FLAIR MR.
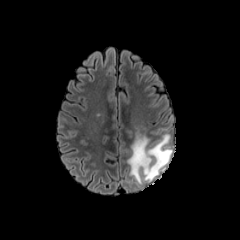
T1-weighted MRI.
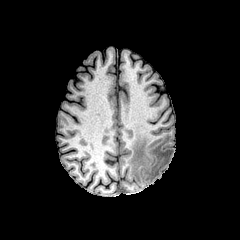
Post-contrast T1-weighted MRI.
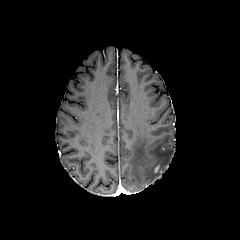
T2-weighted magnetic resonance.
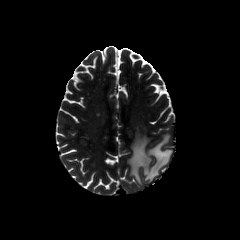
Axial plane.
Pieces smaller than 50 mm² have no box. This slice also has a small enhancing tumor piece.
<segmentation>
  <peritumoral_edema>rect(127, 131, 172, 184)</peritumoral_edema>
</segmentation>